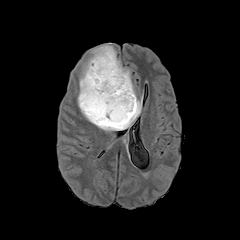
FLAIR MR.
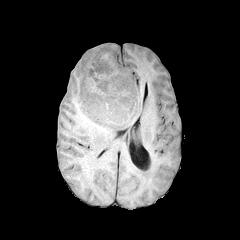
T1-weighted MRI.
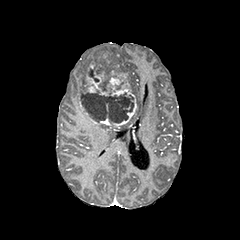
Same slice, post-contrast T1-weighted MR.
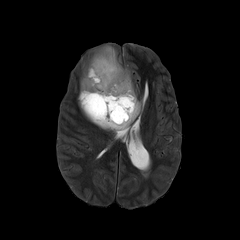
Same slice, T2-weighted MR.
Axial slice
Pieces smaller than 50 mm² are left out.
The peritumoral edema lies within box(77, 44, 141, 131). The largest enhancing tumor region is located at box(81, 59, 136, 127). The 3 largest necrotic tumor core regions are located at box(89, 69, 99, 82); box(81, 87, 134, 123); box(101, 79, 109, 91).